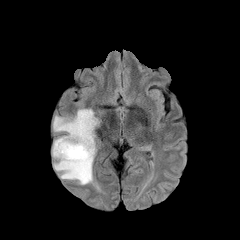
FLAIR magnetic resonance.
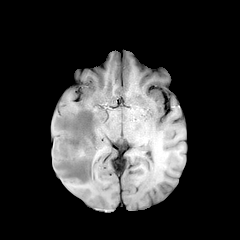
T1-weighted MRI.
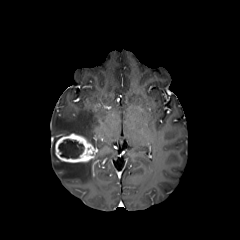
Same slice, post-contrast T1-weighted MR.
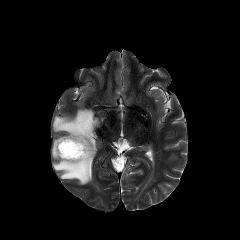
Same slice, T2-weighted MRI.
Brain. Axial slice.
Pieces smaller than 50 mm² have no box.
Findings:
- peritumoral edema: 52:139:93:184, 53:108:99:147
- enhancing tumor: 55:133:97:162
- necrotic tumor core: 58:139:83:158